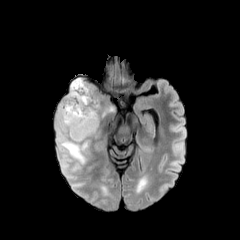
FLAIR MR.
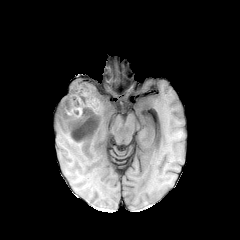
T1-weighted magnetic resonance.
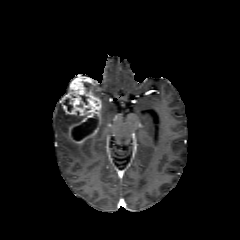
Post-contrast T1-weighted MRI.
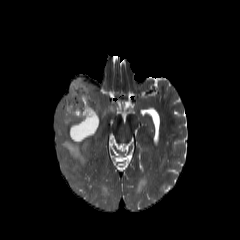
T2-weighted MR image.
Image size 240x240; Axial plane
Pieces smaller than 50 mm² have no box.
necrotic tumor core = [71,115,98,141], [64,98,72,111]
peritumoral edema = [102,107,114,116], [56,105,91,164]
enhancing tumor = [61,78,102,143]